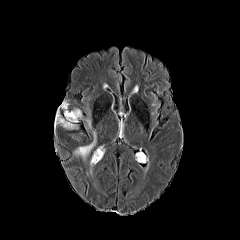
FLAIR MR.
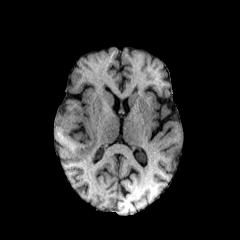
T1-weighted MR.
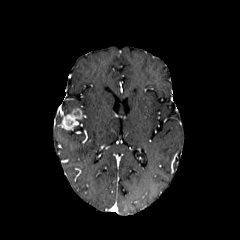
Post-contrast T1-weighted magnetic resonance.
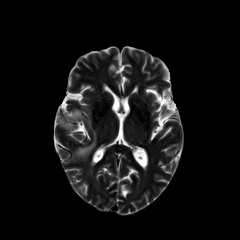
T2-weighted MR.
Axial view. 240x240.
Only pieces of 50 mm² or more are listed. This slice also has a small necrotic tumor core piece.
{
  "peritumoral_edema": [
    "box(75, 131, 96, 158)",
    "box(62, 102, 71, 115)"
  ],
  "enhancing_tumor": [
    "box(61, 108, 82, 129)"
  ]
}